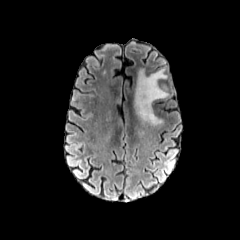
FLAIR MRI.
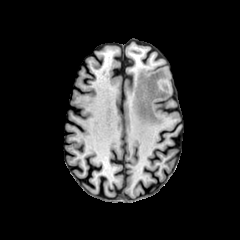
T1-weighted MRI.
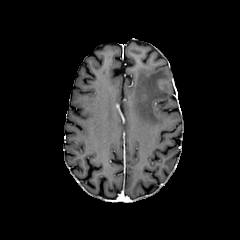
Same slice, post-contrast T1-weighted MRI.
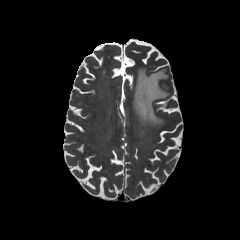
T2-weighted MRI.
Head, 240x240
peritumoral edema: bounding box left=134, top=68, right=169, bottom=125